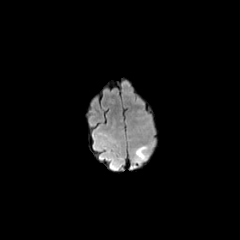
FLAIR MRI.
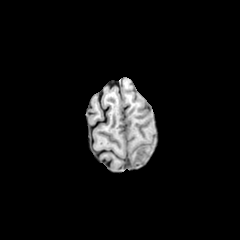
T1-weighted MRI.
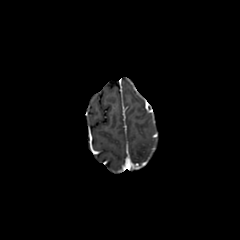
Post-contrast T1-weighted MRI.
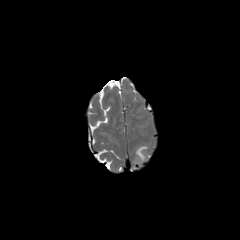
Same slice, T2-weighted MR.
The peritumoral edema is at {"x1": 134, "y1": 146, "x2": 147, "y2": 162}.